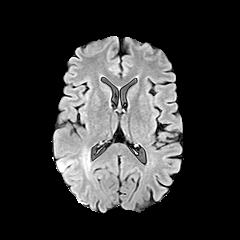
FLAIR magnetic resonance.
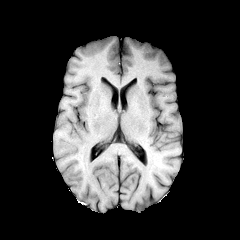
T1-weighted magnetic resonance.
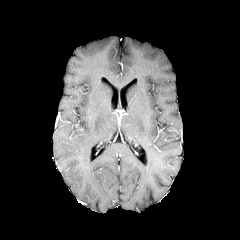
Post-contrast T1-weighted MRI.
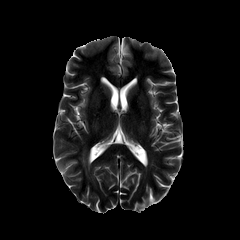
T2-weighted magnetic resonance of the same slice.
Image size 240x240. Axial slice.
2 peritumoral edema regions are located at x1=58, y1=161, x2=72, y2=173; x1=83, y1=155, x2=90, y2=168.